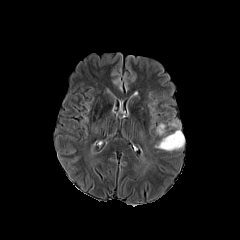
FLAIR magnetic resonance.
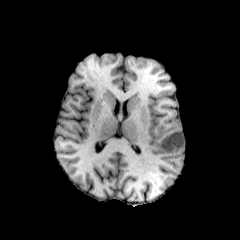
Same slice, T1-weighted MR image.
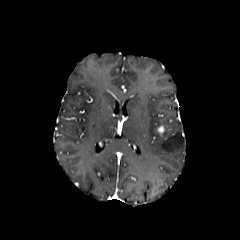
Same slice, post-contrast T1-weighted MR.
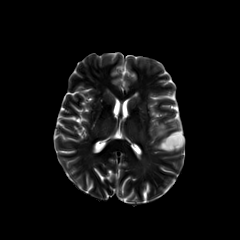
T2-weighted magnetic resonance.
Axial slice
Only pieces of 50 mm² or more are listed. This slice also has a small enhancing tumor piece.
peritumoral edema — box(155, 120, 184, 151)